Axial plane, Slice 61/155, Head
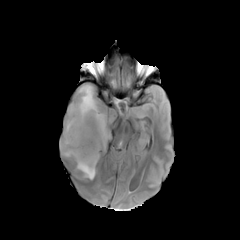
FLAIR magnetic resonance.
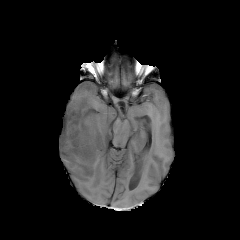
T1-weighted MR image of the same slice.
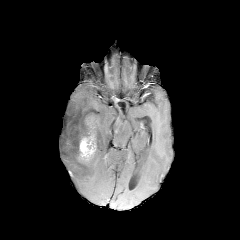
Same slice, post-contrast T1-weighted MR.
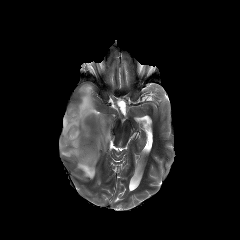
Same slice, T2-weighted MR.
enhancing tumor: bounding box <box>78,117,96,162</box>
peritumoral edema: bounding box <box>59,84,110,179</box>